FLAIR MRI.
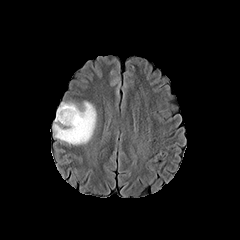
T1-weighted magnetic resonance.
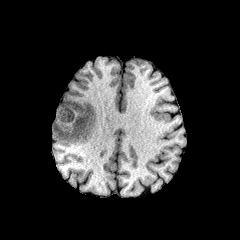
Post-contrast T1-weighted MR.
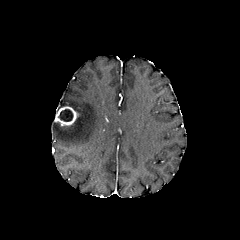
T2-weighted magnetic resonance.
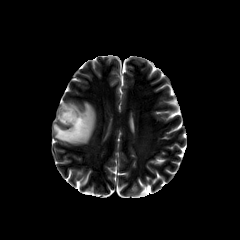
240x240
enhancing tumor: bounding box 54 106 78 125
peritumoral edema: bounding box 53 101 96 144
necrotic tumor core: bounding box 58 109 72 121